Slice 82/155 | 240x240 px
FLAIR MR.
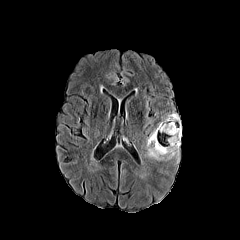
T1-weighted magnetic resonance.
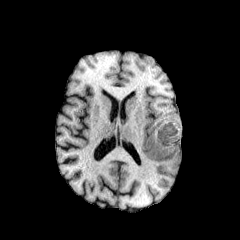
Post-contrast T1-weighted MRI.
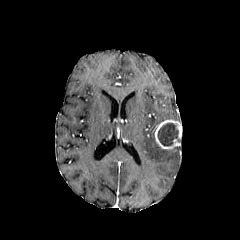
T2-weighted MRI.
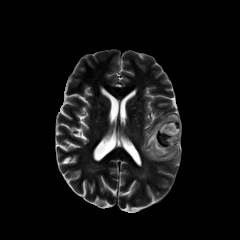
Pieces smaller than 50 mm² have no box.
Annotated regions:
• necrotic tumor core: 157 123 178 145
• enhancing tumor: 154 119 181 149
• peritumoral edema: 161 113 180 121, 145 129 179 164